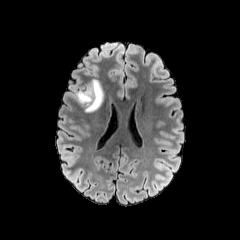
FLAIR magnetic resonance.
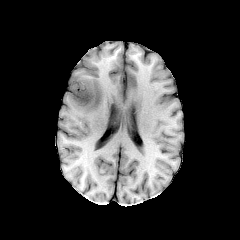
Same slice, T1-weighted MRI.
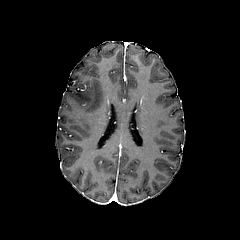
Post-contrast T1-weighted MR.
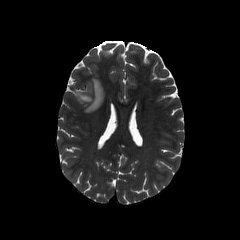
T2-weighted MR image.
240x240.
peritumoral edema: x1=73, y1=79, x2=104, y2=112